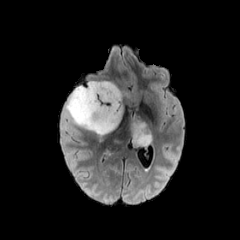
FLAIR magnetic resonance.
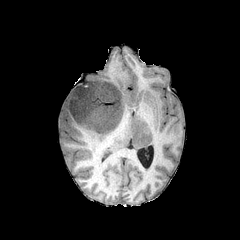
T1-weighted MR image.
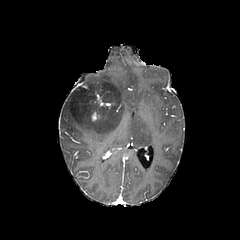
Post-contrast T1-weighted MR.
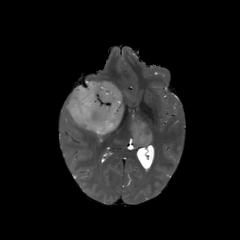
Same slice, T2-weighted MR image.
Head
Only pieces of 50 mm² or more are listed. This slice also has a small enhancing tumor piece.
3 peritumoral edema regions are located at [111, 139, 120, 145], [66, 81, 125, 144], [130, 116, 154, 148].